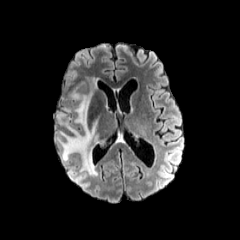
FLAIR MR image.
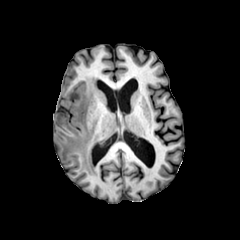
T1-weighted MRI.
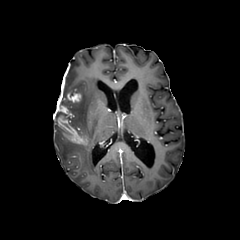
Post-contrast T1-weighted MR image of the same slice.
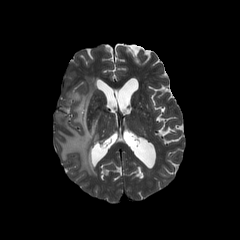
T2-weighted MR image.
Head.
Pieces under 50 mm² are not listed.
Segmented structures:
• enhancing tumor: 57,106,87,144; 67,93,81,102
• peritumoral edema: 57,79,98,175